Image covers 240 mm x 240 mm. Head. Slice 91/155.
FLAIR MR image.
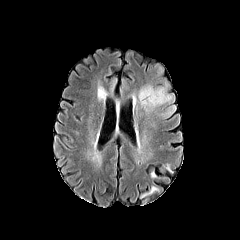
T1-weighted MR image.
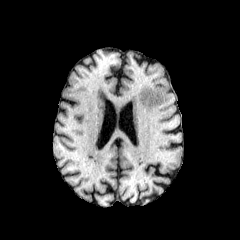
Post-contrast T1-weighted MRI.
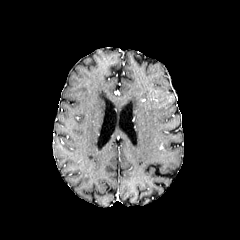
T2-weighted MR image.
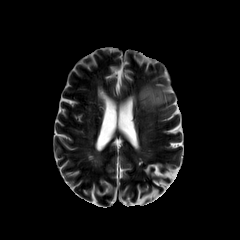
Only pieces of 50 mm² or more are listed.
peritumoral edema: [x1=138, y1=85, x2=171, y2=111]